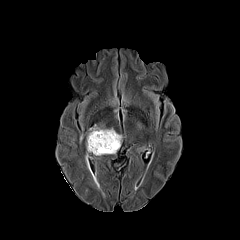
FLAIR MR.
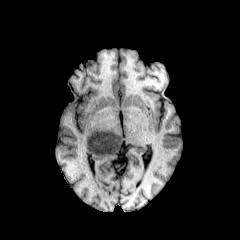
T1-weighted MR.
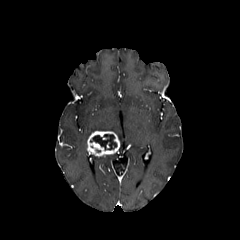
Same slice, post-contrast T1-weighted magnetic resonance.
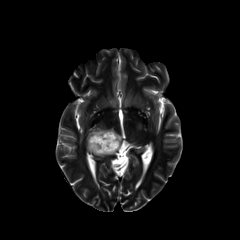
T2-weighted MR.
Brain
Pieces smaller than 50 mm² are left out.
necrotic tumor core: [90, 134, 117, 150]
peritumoral edema: [87, 124, 115, 138]
enhancing tumor: [87, 131, 119, 156]